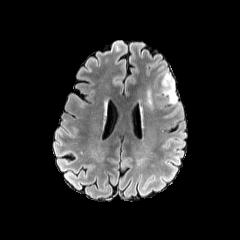
FLAIR MRI.
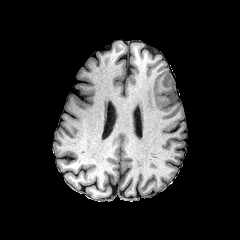
T1-weighted magnetic resonance.
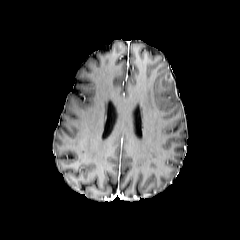
Post-contrast T1-weighted MR image.
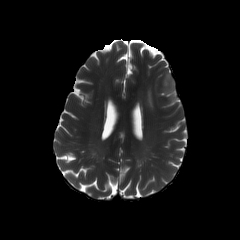
T2-weighted magnetic resonance of the same slice.
Head; Axial view
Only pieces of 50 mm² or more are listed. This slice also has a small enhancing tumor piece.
• peritumoral edema: x1=146 y1=74 x2=178 y2=110